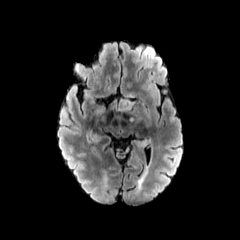
FLAIR magnetic resonance.
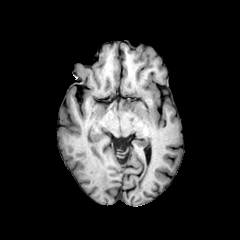
T1-weighted MR.
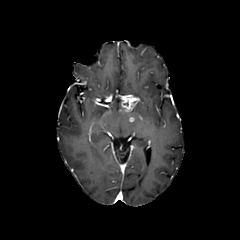
Same slice, post-contrast T1-weighted MR image.
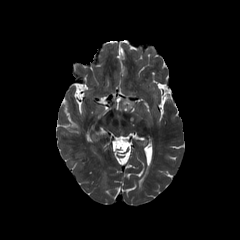
T2-weighted magnetic resonance.
Axial slice | Head
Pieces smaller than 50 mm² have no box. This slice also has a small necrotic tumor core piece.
The largest peritumoral edema region is located at 135,138,147,148. The largest enhancing tumor region is at 119,94,134,111.